FLAIR magnetic resonance.
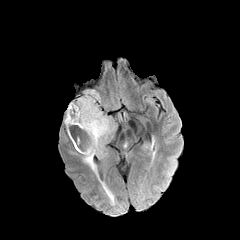
T1-weighted MR image.
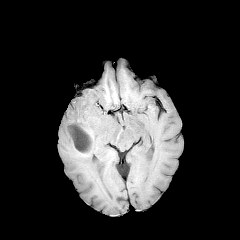
Post-contrast T1-weighted MR image.
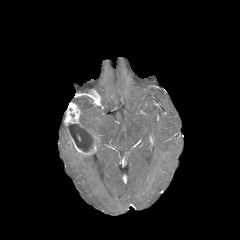
T2-weighted magnetic resonance.
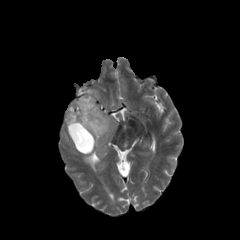
Head, Axial plane
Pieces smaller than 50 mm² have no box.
peritumoral edema: <bbox>73, 96, 114, 173</bbox> | enhancing tumor: <bbox>81, 89, 100, 105</bbox>, <bbox>64, 102, 99, 154</bbox> | necrotic tumor core: <bbox>68, 124, 94, 151</bbox>